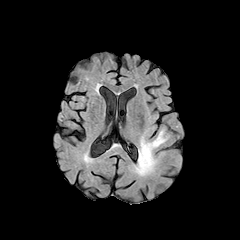
FLAIR MR.
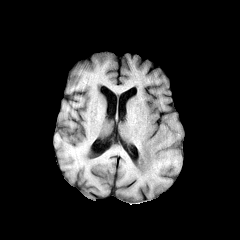
T1-weighted MRI.
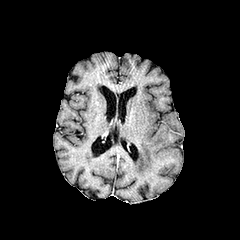
Same slice, post-contrast T1-weighted MR image.
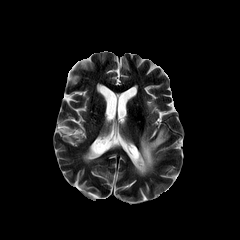
T2-weighted MR image.
Axial plane; Head
Annotated regions:
• peritumoral edema: {"x1": 134, "y1": 128, "x2": 168, "y2": 175}